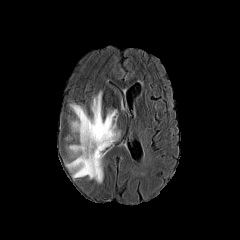
FLAIR MRI.
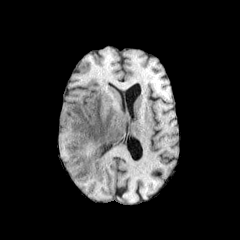
T1-weighted MRI of the same slice.
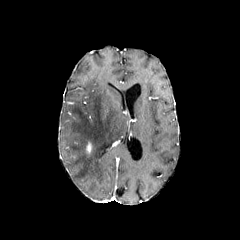
Post-contrast T1-weighted MR image.
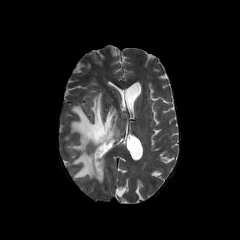
T2-weighted magnetic resonance.
The enhancing tumor is at x1=86, y1=142, x2=91, y2=153. The peritumoral edema is at x1=67, y1=92, x2=120, y2=182.